Head
FLAIR MR image.
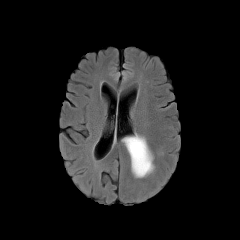
T1-weighted MR.
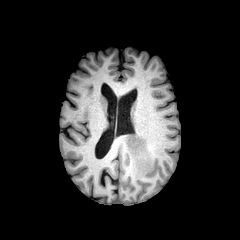
Post-contrast T1-weighted magnetic resonance.
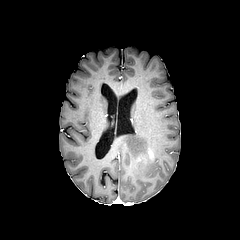
T2-weighted MR.
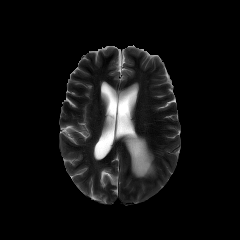
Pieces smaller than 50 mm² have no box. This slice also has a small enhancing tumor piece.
peritumoral edema: <bbox>122, 134, 154, 177</bbox>